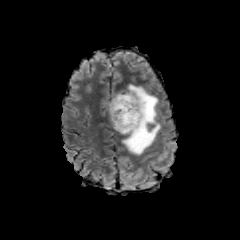
FLAIR MR image.
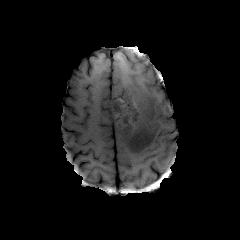
T1-weighted MR.
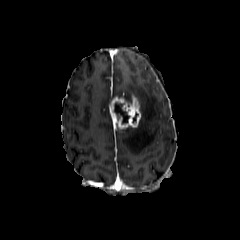
Post-contrast T1-weighted magnetic resonance of the same slice.
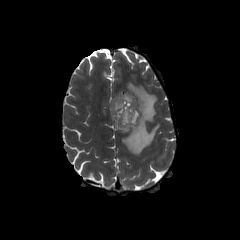
Same slice, T2-weighted MRI.
Head; Image size 240x240
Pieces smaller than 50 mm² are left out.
necrotic tumor core: l=114, t=103, r=129, b=123 | enhancing tumor: l=109, t=95, r=141, b=130 | peritumoral edema: l=114, t=84, r=160, b=154